FLAIR MR.
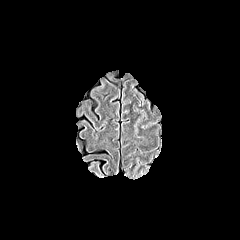
T1-weighted MR.
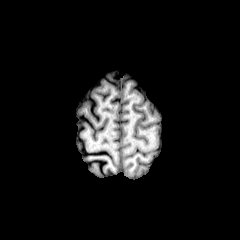
Post-contrast T1-weighted MR.
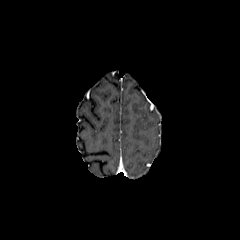
T2-weighted magnetic resonance.
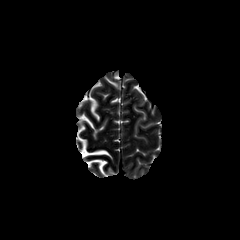
240x240; Head; Axial plane
2 peritumoral edema regions appear at [x1=140, y1=122, x2=152, y2=128], [x1=134, y1=106, x2=147, y2=134].